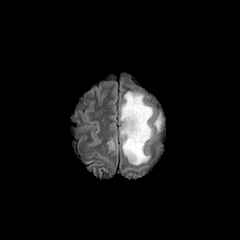
FLAIR MRI.
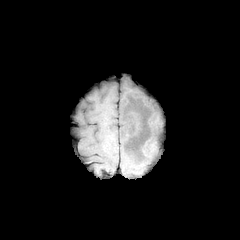
T1-weighted MR.
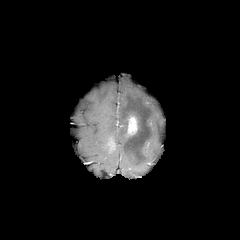
Post-contrast T1-weighted MR.
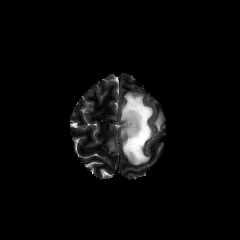
T2-weighted MR.
Axial view | Head
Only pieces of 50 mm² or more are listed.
peritumoral edema: 120 91 153 165, 153 114 161 131 | enhancing tumor: 127 115 137 135